Axial slice; Brain
FLAIR magnetic resonance.
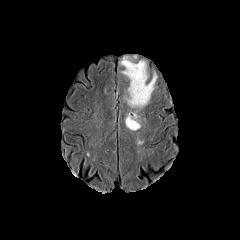
T1-weighted magnetic resonance.
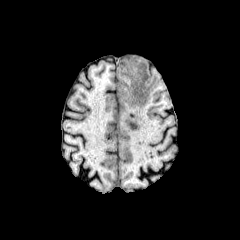
Post-contrast T1-weighted magnetic resonance.
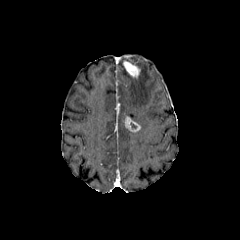
T2-weighted MR.
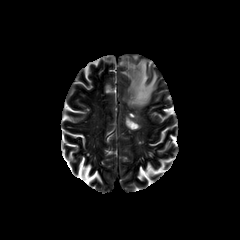
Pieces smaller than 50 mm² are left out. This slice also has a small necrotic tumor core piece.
peritumoral edema = <box>119,56,157,126</box>
enhancing tumor = <box>123,60,140,78</box>, <box>125,116,140,131</box>